240x240 px.
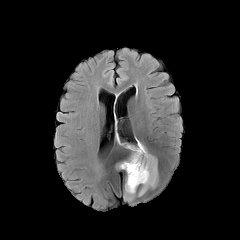
FLAIR MR image.
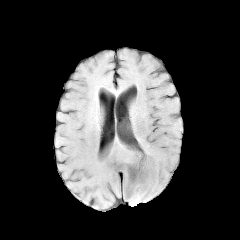
Same slice, T1-weighted MR.
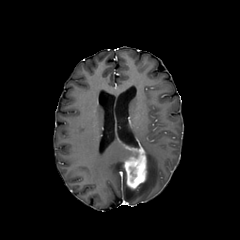
Post-contrast T1-weighted MR image.
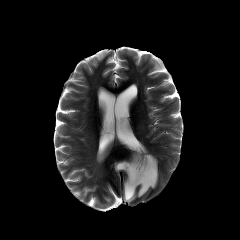
Same slice, T2-weighted MRI.
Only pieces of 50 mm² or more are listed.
The enhancing tumor appears at [x1=123, y1=142, x2=147, y2=189]. The 2 largest peritumoral edema regions appear at [x1=116, y1=161, x2=124, y2=169], [x1=123, y1=140, x2=158, y2=202].